Brain; Image width 240 mm; 240x240 px
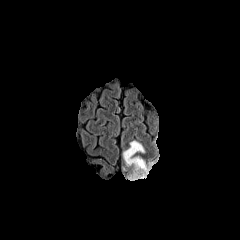
FLAIR MR image.
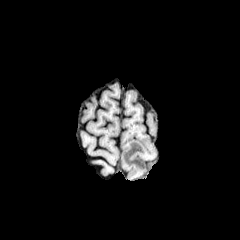
T1-weighted MR image of the same slice.
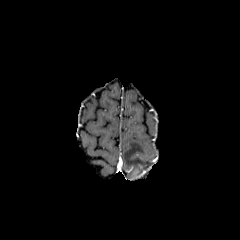
Same slice, post-contrast T1-weighted MRI.
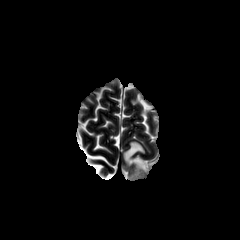
T2-weighted magnetic resonance of the same slice.
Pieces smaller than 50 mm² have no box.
The enhancing tumor is bounded by box=[126, 164, 146, 179]. The largest peritumoral edema region appears at box=[123, 141, 153, 176].